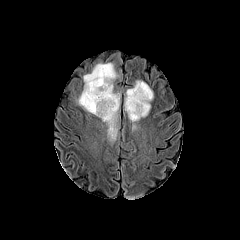
FLAIR magnetic resonance.
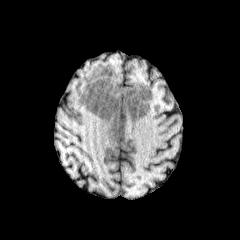
T1-weighted MRI.
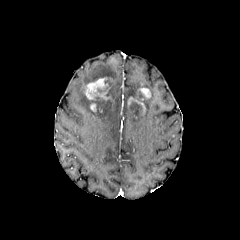
Post-contrast T1-weighted magnetic resonance.
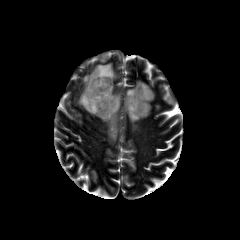
T2-weighted MR.
Brain | 240x240
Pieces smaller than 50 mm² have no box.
necrotic tumor core: bbox(128, 100, 143, 117); bbox(89, 96, 106, 108); bbox(133, 90, 145, 104)
peritumoral edema: bbox(78, 63, 120, 136); bbox(124, 80, 153, 130)
enhancing tumor: bbox(128, 97, 145, 113); bbox(84, 77, 110, 100); bbox(138, 87, 151, 99)